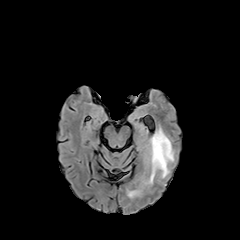
FLAIR magnetic resonance.
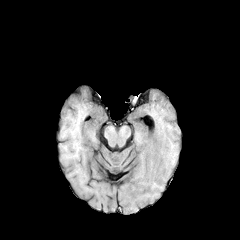
Same slice, T1-weighted MR image.
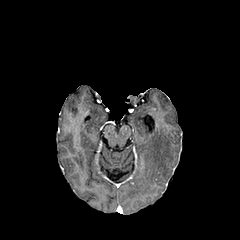
Post-contrast T1-weighted MR image of the same slice.
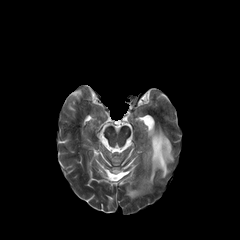
T2-weighted magnetic resonance.
Axial slice | 240x240 px | Brain
2 peritumoral edema regions are located at 143, 127, 173, 184; 127, 189, 141, 197.